Head
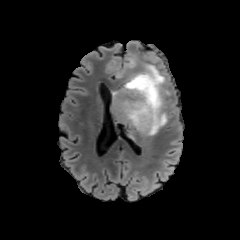
FLAIR MRI.
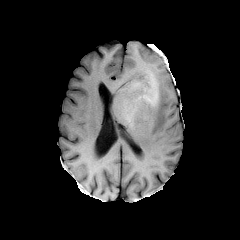
T1-weighted MR.
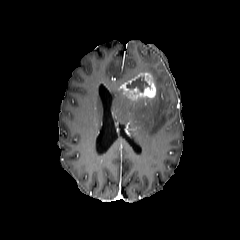
Same slice, post-contrast T1-weighted magnetic resonance.
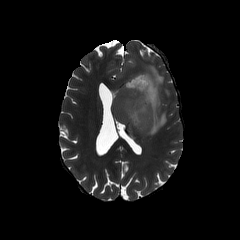
T2-weighted MR of the same slice.
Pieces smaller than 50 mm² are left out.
<segmentation>
  <necrotic_tumor_core>[126, 77, 149, 91]</necrotic_tumor_core>
  <enhancing_tumor>[121, 72, 156, 100]</enhancing_tumor>
  <peritumoral_edema>[126, 58, 135, 67], [111, 64, 169, 134]</peritumoral_edema>
</segmentation>